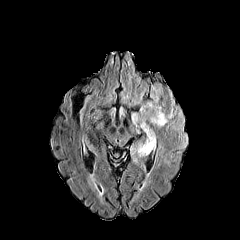
FLAIR MR image.
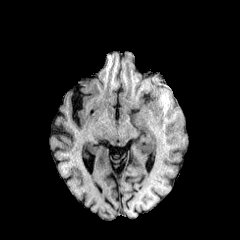
Same slice, T1-weighted MR image.
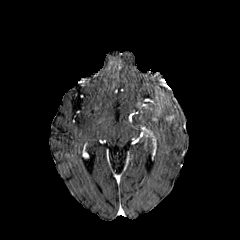
Post-contrast T1-weighted MR image of the same slice.
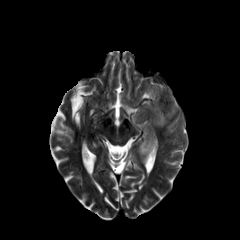
T2-weighted MRI.
Image size 240x240
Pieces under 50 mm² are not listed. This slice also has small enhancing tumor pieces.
peritumoral_edema:
  - {"x1": 132, "y1": 102, "x2": 169, "y2": 128}
  - {"x1": 136, "y1": 137, "x2": 152, "y2": 156}
  - {"x1": 151, "y1": 83, "x2": 162, "y2": 102}